Slice 68 of 155
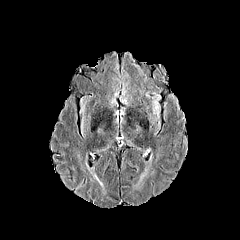
FLAIR MRI.
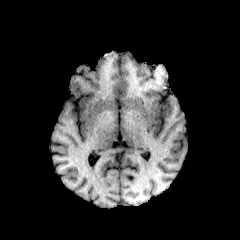
Same slice, T1-weighted MR image.
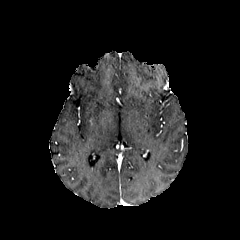
Same slice, post-contrast T1-weighted MR.
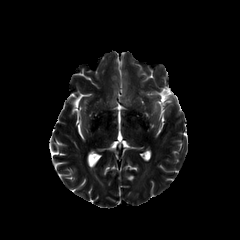
T2-weighted magnetic resonance.
Annotated regions:
• peritumoral edema: [153,102,158,113]